Axial view; Slice 91/155; Brain
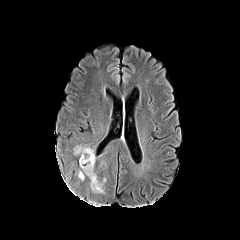
FLAIR MRI.
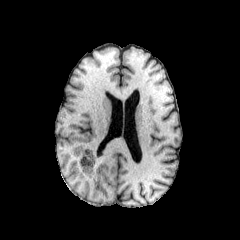
T1-weighted MRI of the same slice.
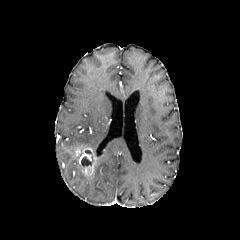
Same slice, post-contrast T1-weighted magnetic resonance.
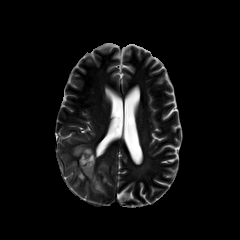
T2-weighted magnetic resonance.
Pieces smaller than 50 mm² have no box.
necrotic_tumor_core:
  - rect(81, 157, 93, 166)
peritumoral_edema:
  - rect(88, 174, 103, 193)
enhancing_tumor:
  - rect(75, 145, 96, 175)